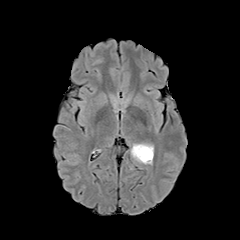
FLAIR MR image.
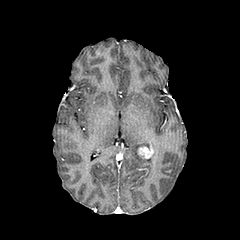
T1-weighted MRI.
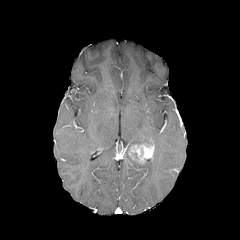
Post-contrast T1-weighted MRI.
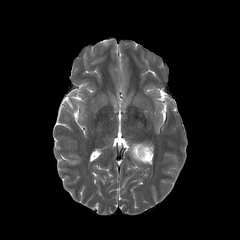
T2-weighted magnetic resonance.
240x240 px.
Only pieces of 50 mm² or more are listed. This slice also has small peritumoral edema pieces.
<segmentation>
  <enhancing_tumor>l=129, t=144, r=153, b=163</enhancing_tumor>
</segmentation>